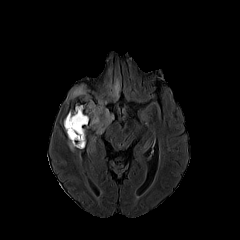
FLAIR MRI.
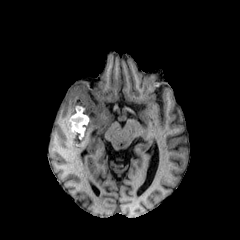
Same slice, T1-weighted MR image.
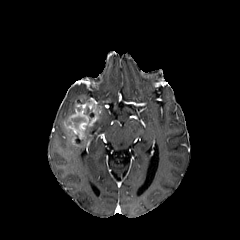
Post-contrast T1-weighted MRI of the same slice.
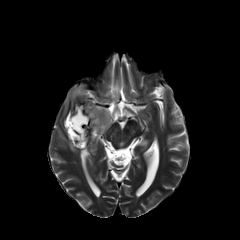
T2-weighted MR.
Brain
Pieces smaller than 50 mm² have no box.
The enhancing tumor appears at 64,95,103,146. The 4 largest peritumoral edema regions are located at 107,79,120,99; 90,108,113,133; 64,126,86,151; 66,85,89,102. The 2 largest necrotic tumor core regions appear at 72,134,83,144; 71,116,85,128.